FLAIR MR image.
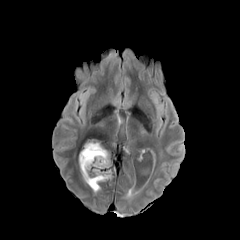
T1-weighted MR image.
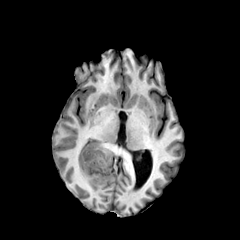
Post-contrast T1-weighted MR image.
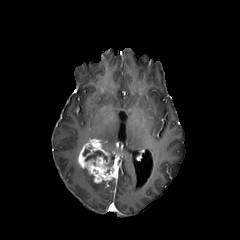
T2-weighted magnetic resonance.
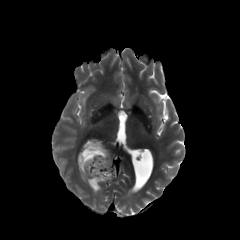
Brain | Axial slice
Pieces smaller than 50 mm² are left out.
The peritumoral edema is bounded by 80 166 100 192. The largest necrotic tumor core region lies within 85 151 106 160. The enhancing tumor is bounded by 78 139 115 183.